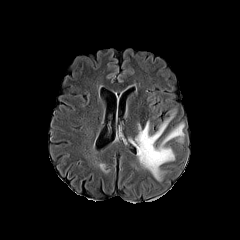
FLAIR MRI.
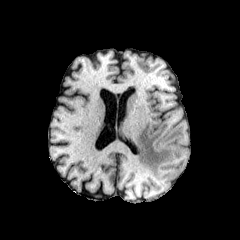
Same slice, T1-weighted MRI.
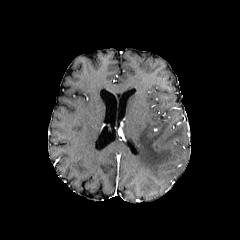
Post-contrast T1-weighted magnetic resonance of the same slice.
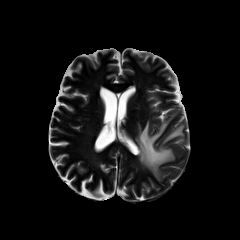
T2-weighted magnetic resonance.
Head. Image size 240x240.
peritumoral edema: box=[127, 111, 184, 182]